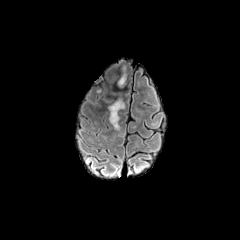
FLAIR magnetic resonance.
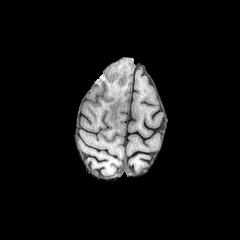
T1-weighted MR image.
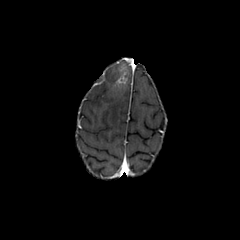
Post-contrast T1-weighted magnetic resonance.
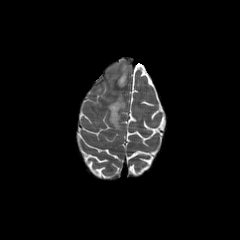
T2-weighted MR image.
Head.
The peritumoral edema appears at bbox(108, 99, 124, 129). The enhancing tumor is located at bbox(116, 64, 126, 86).